FLAIR MRI.
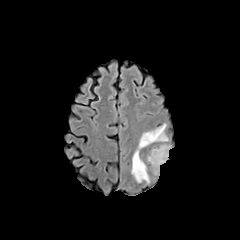
T1-weighted magnetic resonance.
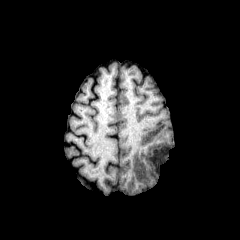
Post-contrast T1-weighted magnetic resonance.
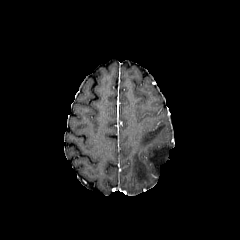
T2-weighted MR image.
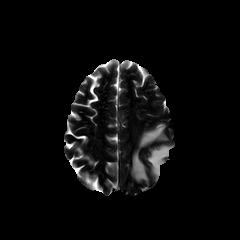
Brain; Image size 240x240
peritumoral edema: 148,145,170,174; 131,124,167,183